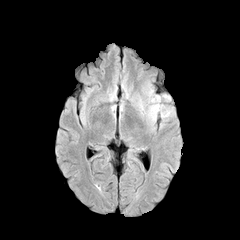
FLAIR MRI.
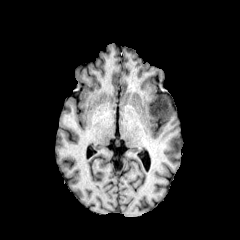
T1-weighted MR.
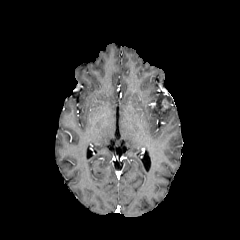
Post-contrast T1-weighted MR image.
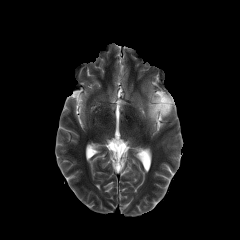
Same slice, T2-weighted MRI.
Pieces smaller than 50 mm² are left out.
enhancing tumor: bounding box (left=161, top=99, right=169, bottom=110)
peritumoral edema: bounding box (left=148, top=95, right=171, bottom=120)